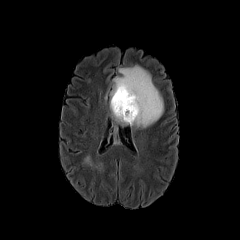
FLAIR MR.
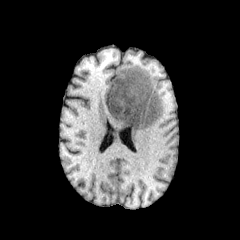
T1-weighted MRI.
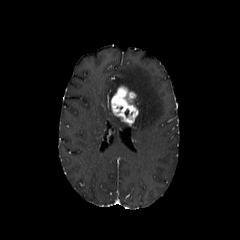
Post-contrast T1-weighted MR image.
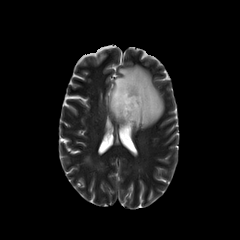
T2-weighted MR image of the same slice.
Brain, 240x240 px
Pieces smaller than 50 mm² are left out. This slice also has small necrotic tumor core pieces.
{"enhancing_tumor": ["x1=111 y1=85 x2=138 y2=125"], "peritumoral_edema": ["x1=111 y1=114 x2=127 y2=126", "x1=83 y1=154 x2=92 y2=166", "x1=110 y1=65 x2=163 y2=128"]}